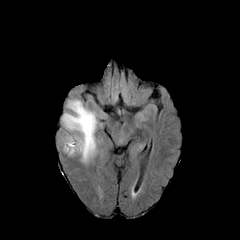
FLAIR MR image.
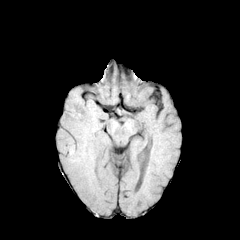
T1-weighted MR image.
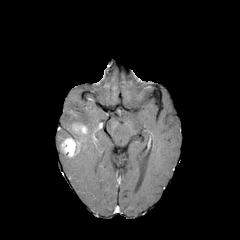
Post-contrast T1-weighted MRI.
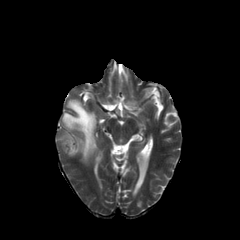
T2-weighted MR image of the same slice.
240x240
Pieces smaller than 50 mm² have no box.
enhancing tumor — [72, 123, 87, 134], [61, 137, 82, 156]
peritumoral edema — [60, 99, 99, 163]